FLAIR magnetic resonance.
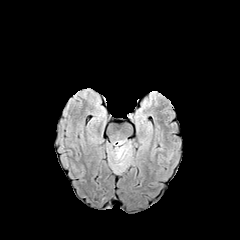
T1-weighted MR.
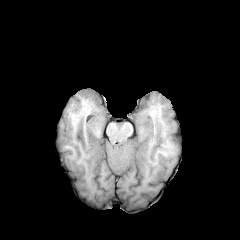
Post-contrast T1-weighted magnetic resonance.
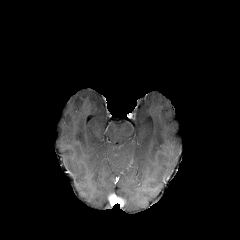
T2-weighted MR image.
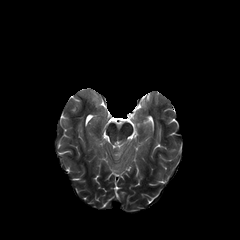
Axial slice. Head.
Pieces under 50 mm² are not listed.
The largest peritumoral edema region is bounded by {"x1": 114, "y1": 144, "x2": 131, "y2": 171}.